FLAIR MR.
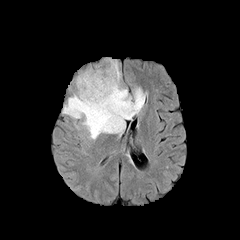
T1-weighted magnetic resonance.
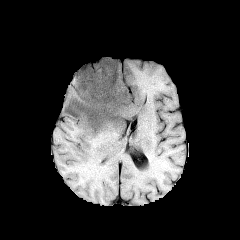
Post-contrast T1-weighted MR.
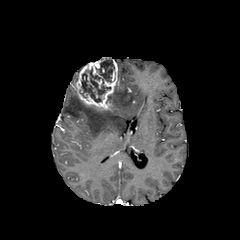
T2-weighted MR.
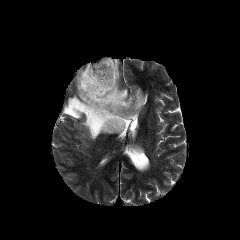
Head
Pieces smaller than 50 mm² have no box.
peritumoral edema: bounding box [62, 85, 145, 139]
enhancing tumor: bounding box [75, 57, 119, 111]
necrotic tumor core: bounding box [80, 58, 114, 102]